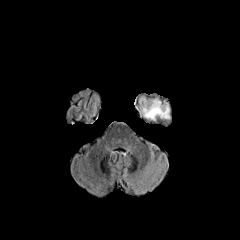
FLAIR MR.
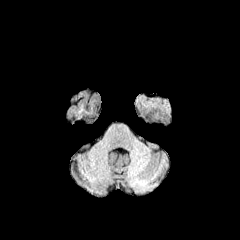
Same slice, T1-weighted magnetic resonance.
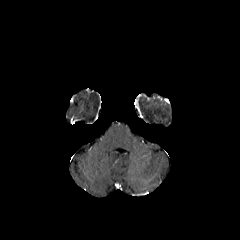
Post-contrast T1-weighted magnetic resonance.
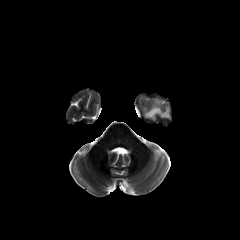
T2-weighted magnetic resonance.
peritumoral edema: 141 99 169 120